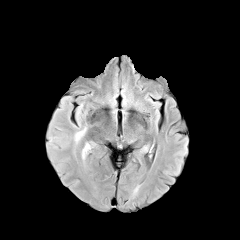
FLAIR magnetic resonance.
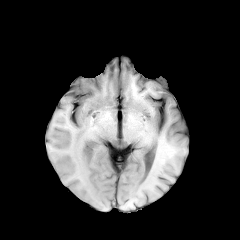
T1-weighted MR of the same slice.
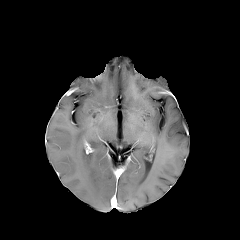
Post-contrast T1-weighted magnetic resonance.
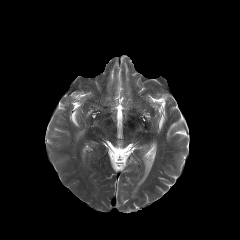
T2-weighted MRI.
Head; 240x240 px
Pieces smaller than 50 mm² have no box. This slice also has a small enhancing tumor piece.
The largest peritumoral edema region appears at <box>76,130,84,140</box>.